FLAIR MR.
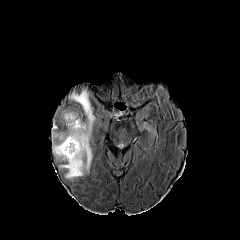
T1-weighted MR.
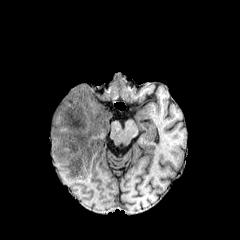
Post-contrast T1-weighted MR.
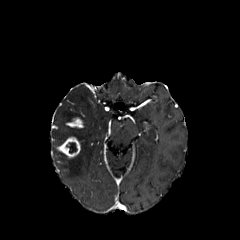
T2-weighted MRI.
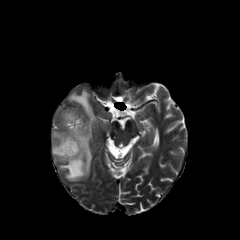
Axial slice.
The necrotic tumor core is bounded by 66:142:77:153. 2 peritumoral edema regions are located at 61:111:75:121, 52:90:94:180. 2 enhancing tumor regions appear at 56:136:80:158, 66:118:83:127.